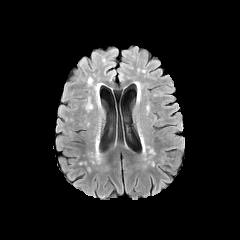
FLAIR MR image.
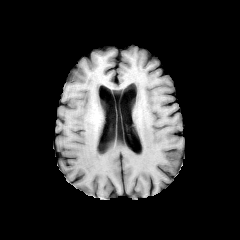
T1-weighted MRI.
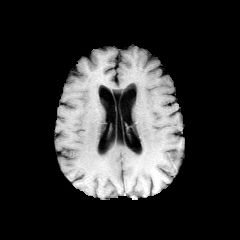
Post-contrast T1-weighted MRI of the same slice.
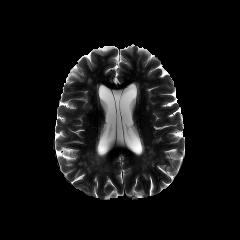
T2-weighted MR image.
Axial slice
The peritumoral edema is bounded by box(96, 138, 99, 159).